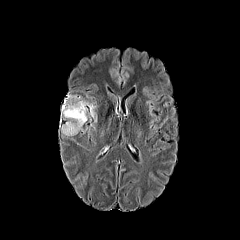
FLAIR MR image.
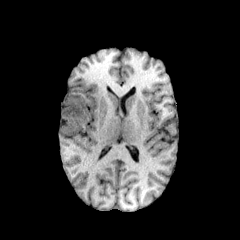
T1-weighted MR.
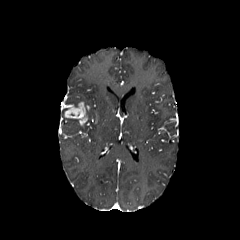
Post-contrast T1-weighted MRI.
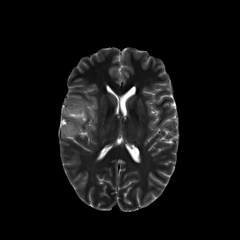
T2-weighted magnetic resonance.
Head
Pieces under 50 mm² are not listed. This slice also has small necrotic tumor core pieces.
peritumoral edema: 62,119,81,135; 67,96,94,117 | enhancing tumor: 61,99,87,126